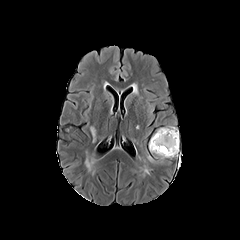
FLAIR MRI.
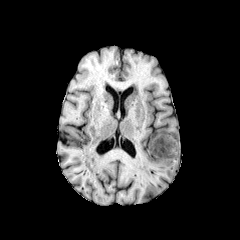
T1-weighted MR image.
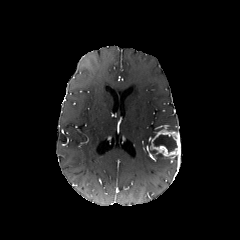
Same slice, post-contrast T1-weighted MRI.
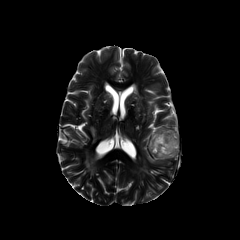
T2-weighted MR.
240x240, Head, Axial plane
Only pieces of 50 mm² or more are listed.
{
  "necrotic_tumor_core": [
    "box(153, 135, 176, 151)"
  ],
  "enhancing_tumor": [
    "box(150, 127, 180, 158)"
  ],
  "peritumoral_edema": [
    "box(156, 154, 167, 162)"
  ]
}